Slice 77/155
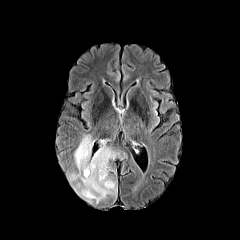
FLAIR magnetic resonance.
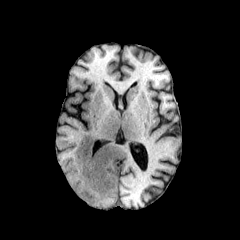
T1-weighted MR of the same slice.
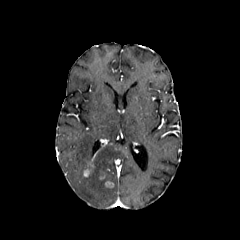
Same slice, post-contrast T1-weighted MRI.
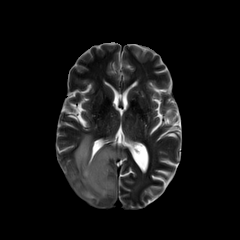
Same slice, T2-weighted MR.
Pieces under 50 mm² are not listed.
The 2 largest enhancing tumor regions appear at <box>83,154,94,176</box>, <box>105,181,113,187</box>. The peritumoral edema is bounded by <box>68,135,120,204</box>.